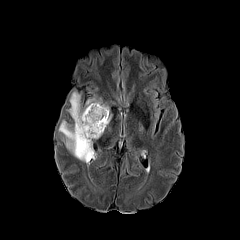
FLAIR magnetic resonance.
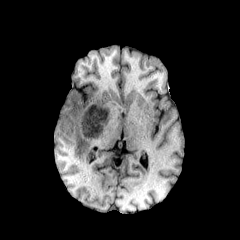
T1-weighted magnetic resonance.
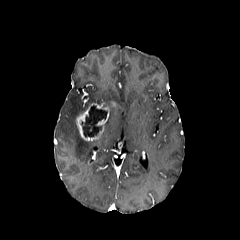
Post-contrast T1-weighted MRI.
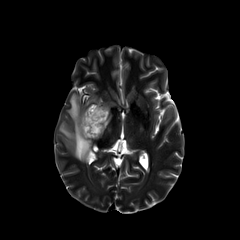
T2-weighted MRI.
Brain
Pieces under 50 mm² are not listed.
The enhancing tumor appears at x1=76 y1=103 x2=109 y2=140. The 2 largest peritumoral edema regions appear at x1=85 y1=95 x2=101 y2=107, x1=59 y1=92 x2=93 y2=163. The largest necrotic tumor core region is bounded by x1=81 y1=105 x2=107 y2=137.